FLAIR MRI.
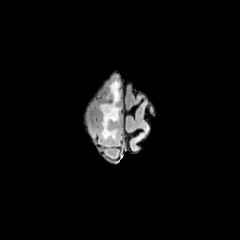
T1-weighted MRI.
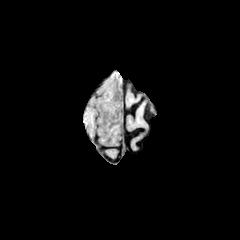
Post-contrast T1-weighted MRI.
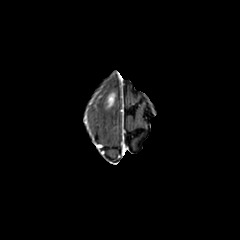
T2-weighted magnetic resonance.
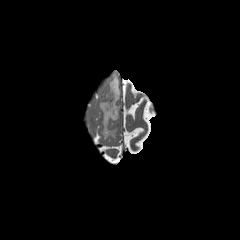
Segmented structures:
• peritumoral edema: [100,76,120,139]
• enhancing tumor: [106,91,116,108]